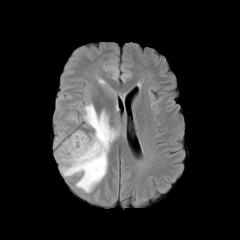
FLAIR MR image.
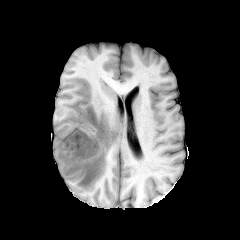
Same slice, T1-weighted MRI.
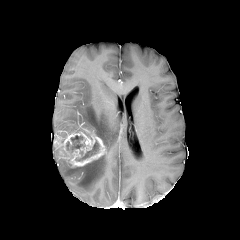
Post-contrast T1-weighted MR.
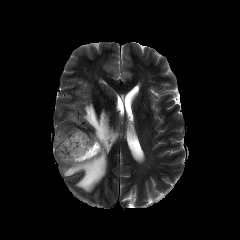
T2-weighted magnetic resonance of the same slice.
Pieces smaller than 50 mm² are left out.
Annotated regions:
• enhancing tumor: {"x1": 54, "y1": 131, "x2": 105, "y2": 167}
• necrotic tumor core: {"x1": 67, "y1": 137, "x2": 83, "y2": 149}, {"x1": 77, "y1": 143, "x2": 99, "y2": 161}
• peritumoral edema: {"x1": 56, "y1": 103, "x2": 118, "y2": 192}